Head; Image covers 240 mm x 240 mm; 240x240
FLAIR MR image.
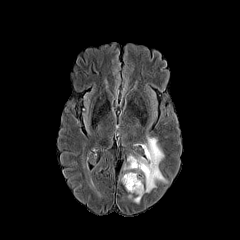
T1-weighted magnetic resonance.
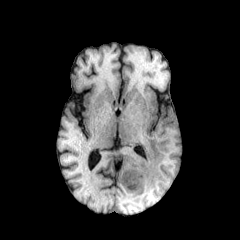
Post-contrast T1-weighted MR image.
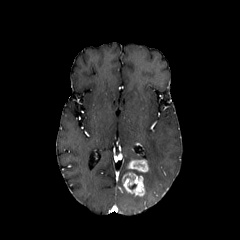
T2-weighted MR image.
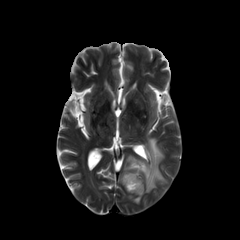
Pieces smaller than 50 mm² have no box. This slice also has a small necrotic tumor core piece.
2 enhancing tumor regions are bounded by <box>122,171,145,196</box>, <box>127,159,149,172</box>. The 2 largest peritumoral edema regions appear at <box>127,155,143,162</box>, <box>142,137,166,192</box>.